Axial view | Head | 240x240 px
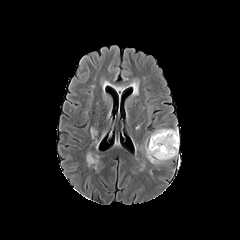
FLAIR magnetic resonance.
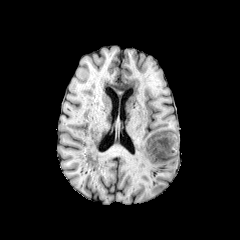
T1-weighted MR image of the same slice.
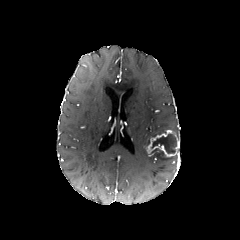
Post-contrast T1-weighted MR image.
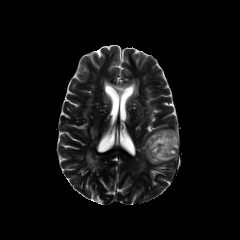
T2-weighted MR image.
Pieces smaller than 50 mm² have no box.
The 2 largest necrotic tumor core regions are located at x1=151 y1=148 x2=164 y2=156, x1=151 y1=134 x2=176 y2=153. The enhancing tumor is located at x1=146 y1=130 x2=179 y2=157. The 2 largest peritumoral edema regions are bounded by x1=149 y1=127 x2=178 y2=138, x1=145 y1=151 x2=173 y2=163.